Slice 69 of 155; Head; Image size 240x240
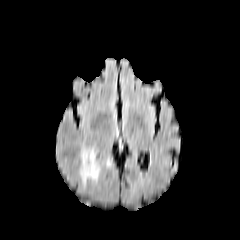
FLAIR magnetic resonance.
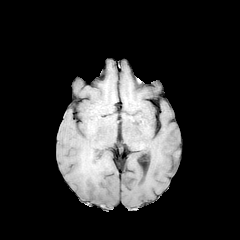
Same slice, T1-weighted MRI.
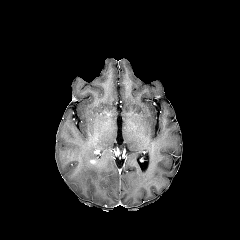
Post-contrast T1-weighted MR.
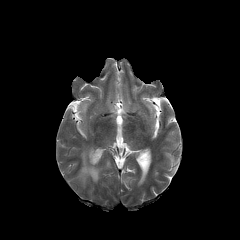
T2-weighted MR.
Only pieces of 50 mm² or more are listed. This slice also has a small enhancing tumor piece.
peritumoral edema — 80:148:115:185